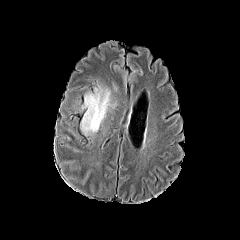
FLAIR MR.
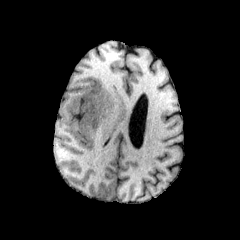
T1-weighted magnetic resonance.
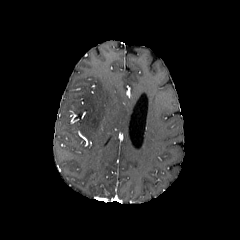
Post-contrast T1-weighted MRI.
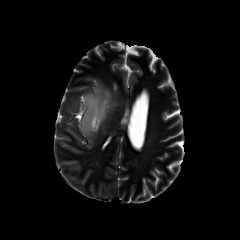
Same slice, T2-weighted MR image.
peritumoral edema: bounding box region(81, 85, 116, 135)